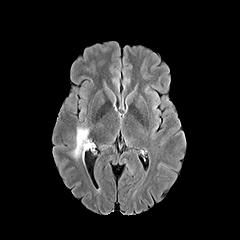
FLAIR MR.
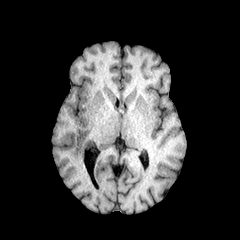
T1-weighted MR image of the same slice.
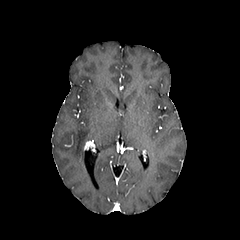
Post-contrast T1-weighted MRI of the same slice.
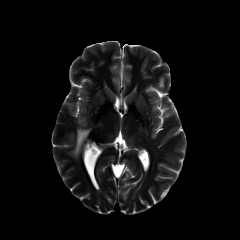
T2-weighted MR.
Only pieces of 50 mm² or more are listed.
enhancing tumor at box=[84, 141, 92, 149]
peritumoral edema at box=[71, 127, 89, 158]